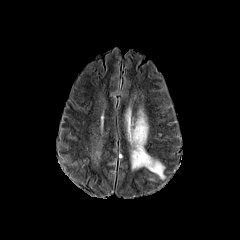
FLAIR MRI.
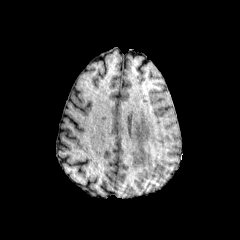
T1-weighted MRI.
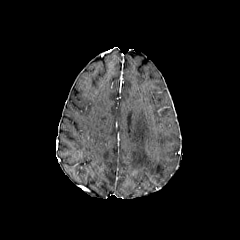
Post-contrast T1-weighted MR.
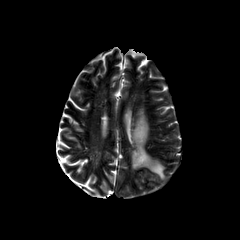
T2-weighted MR image.
Segmented structures:
- peritumoral edema: (127,109,164,178)